FLAIR magnetic resonance.
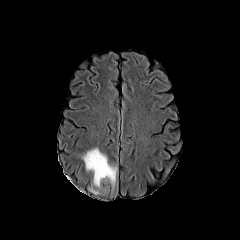
T1-weighted MR image.
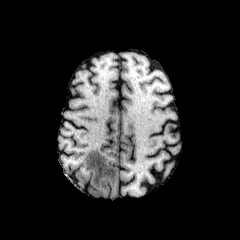
Post-contrast T1-weighted MR.
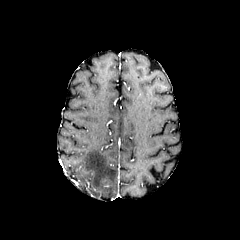
T2-weighted MR image.
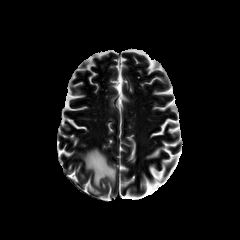
Axial view; 240x240; Brain
peritumoral edema at 87 185 100 194, 82 147 118 194